240x240
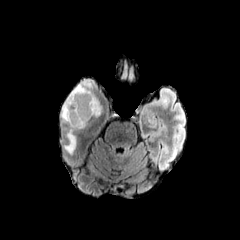
FLAIR MR image.
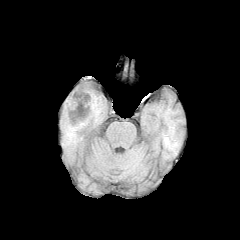
T1-weighted MR.
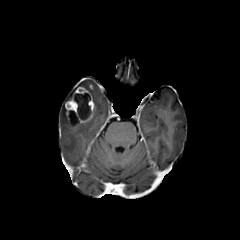
Post-contrast T1-weighted magnetic resonance of the same slice.
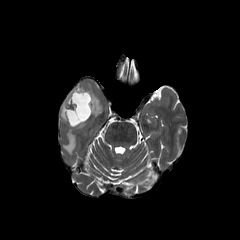
Same slice, T2-weighted MR image.
2 necrotic tumor core regions are located at x1=69, y1=110, x2=78, y2=124; x1=74, y1=93, x2=90, y2=119. The enhancing tumor is bounded by x1=65, y1=86, x2=94, y2=126. 2 peritumoral edema regions are bounded by x1=60, y1=80, x2=101, y2=122; x1=64, y1=123, x2=85, y2=154.